Head; Axial plane; Slice 115/155
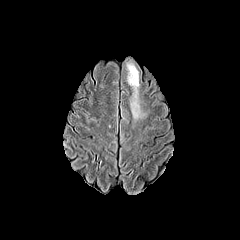
FLAIR magnetic resonance.
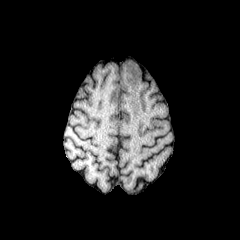
Same slice, T1-weighted MR image.
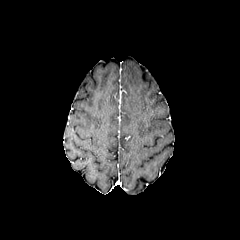
Post-contrast T1-weighted magnetic resonance of the same slice.
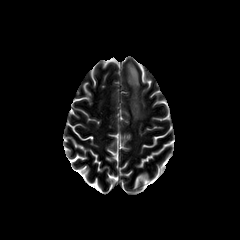
Same slice, T2-weighted MR.
Annotated regions:
• peritumoral edema: 127,63,142,119